Slice 116/155; Axial plane
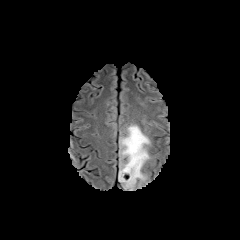
FLAIR magnetic resonance.
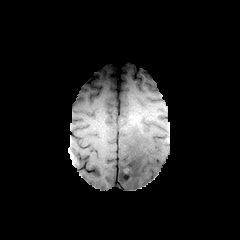
T1-weighted MR image.
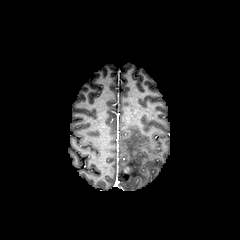
Same slice, post-contrast T1-weighted MR.
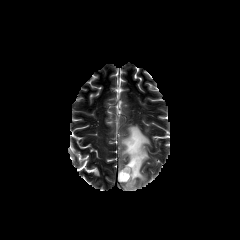
T2-weighted MR.
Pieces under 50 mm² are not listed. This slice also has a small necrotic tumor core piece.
The peritumoral edema appears at 118 125 150 190.